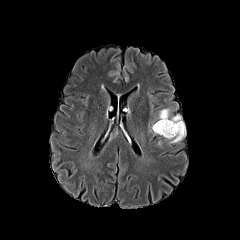
FLAIR MR image.
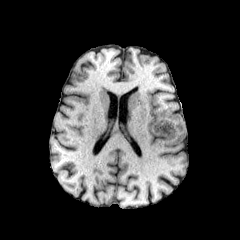
Same slice, T1-weighted MRI.
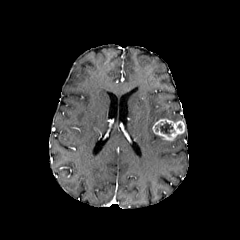
Post-contrast T1-weighted MR image.
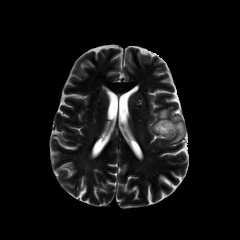
T2-weighted MR.
Axial slice, Head, 240x240 px
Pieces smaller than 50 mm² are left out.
{
  "enhancing_tumor": [
    "rect(152, 118, 185, 140)"
  ],
  "peritumoral_edema": [
    "rect(169, 131, 185, 143)",
    "rect(157, 109, 169, 119)",
    "rect(170, 115, 182, 121)"
  ],
  "necrotic_tumor_core": [
    "rect(160, 122, 173, 135)"
  ]
}